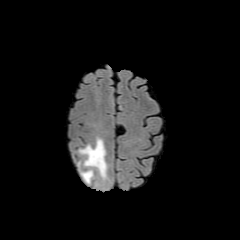
FLAIR MRI.
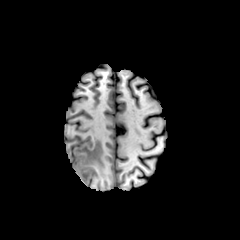
T1-weighted MRI.
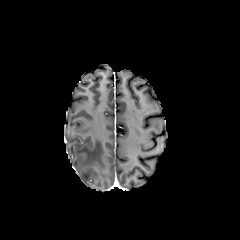
Post-contrast T1-weighted magnetic resonance of the same slice.
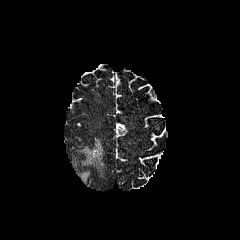
T2-weighted MR.
Head.
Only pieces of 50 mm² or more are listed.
peritumoral edema — 79:138:106:178, 81:170:92:182